Slice index 60. Head.
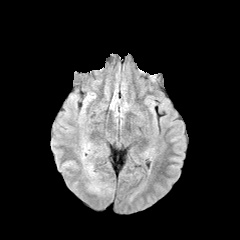
FLAIR MR.
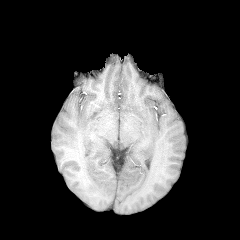
T1-weighted magnetic resonance.
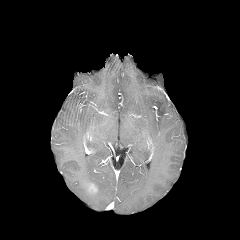
Post-contrast T1-weighted MRI of the same slice.
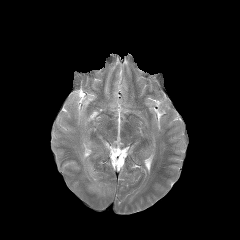
T2-weighted MRI of the same slice.
Annotated regions:
• enhancing tumor: bbox=[89, 184, 96, 191]
• peritumoral edema: bbox=[81, 138, 97, 178]; bbox=[88, 180, 106, 193]